Brain. Slice 70 of 155. Axial view.
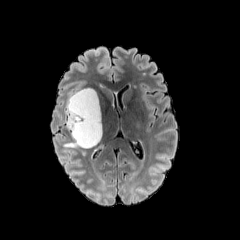
FLAIR MRI.
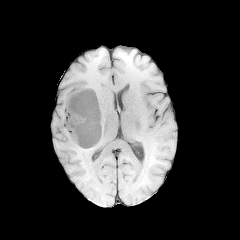
T1-weighted MR image of the same slice.
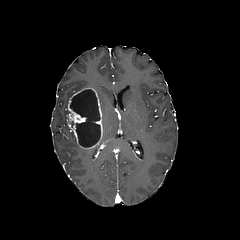
Post-contrast T1-weighted MRI.
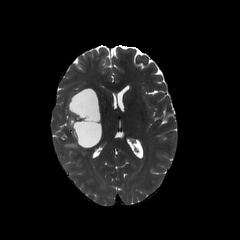
T2-weighted MR image.
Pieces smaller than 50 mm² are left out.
Annotated regions:
- peritumoral edema: <bbox>64, 132, 80, 148</bbox>
- enhancing tumor: <bbox>67, 87, 102, 148</bbox>
- necrotic tumor core: <bbox>70, 89, 100, 147</bbox>